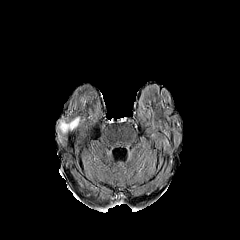
FLAIR MRI.
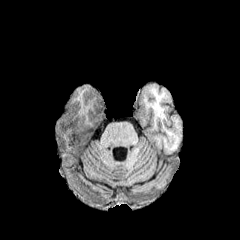
T1-weighted magnetic resonance.
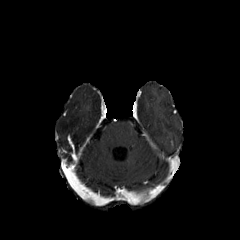
Same slice, post-contrast T1-weighted MRI.
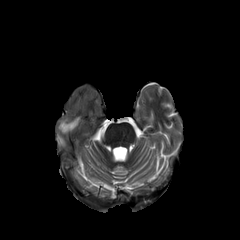
T2-weighted MR of the same slice.
Image size 240x240 | Brain
The peritumoral edema lies within {"x1": 60, "y1": 117, "x2": 79, "y2": 132}.